FLAIR MR.
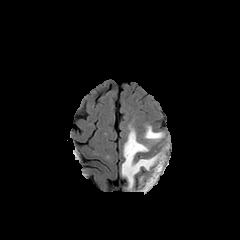
T1-weighted magnetic resonance.
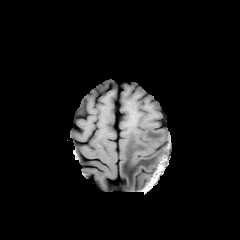
Post-contrast T1-weighted MR.
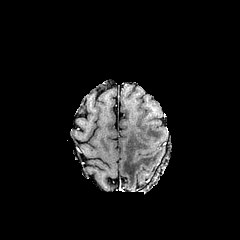
T2-weighted MRI.
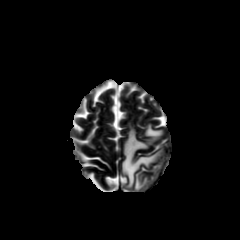
Image size 240x240, Axial slice
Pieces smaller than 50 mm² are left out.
Findings:
- peritumoral edema: (121, 127, 164, 190), (144, 125, 163, 143)